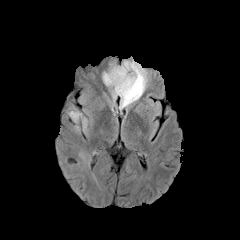
FLAIR magnetic resonance.
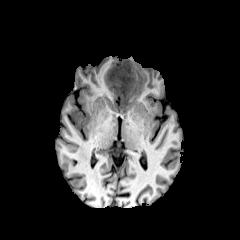
T1-weighted MR image.
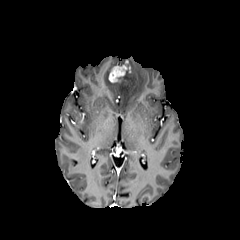
Post-contrast T1-weighted MR image of the same slice.
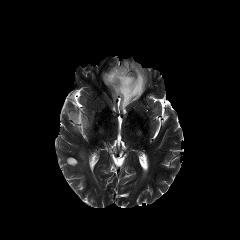
T2-weighted MR.
Image size 240x240
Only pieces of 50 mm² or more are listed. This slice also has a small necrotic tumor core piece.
enhancing tumor — l=108, t=60, r=130, b=82
peritumoral edema — l=102, t=60, r=147, b=109; l=70, t=111, r=81, b=123